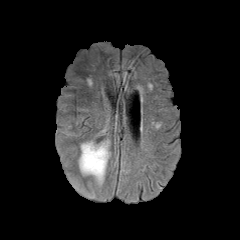
FLAIR MR.
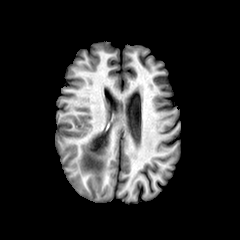
T1-weighted magnetic resonance.
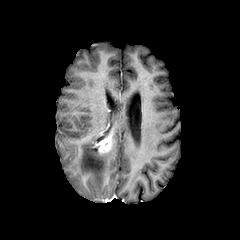
Same slice, post-contrast T1-weighted MRI.
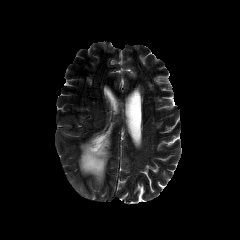
T2-weighted magnetic resonance of the same slice.
Image size 240x240, Head, Axial slice
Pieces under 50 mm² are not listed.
enhancing tumor: bounding box rect(93, 137, 110, 154)
peritumoral edema: bounding box rect(78, 140, 110, 185)